240x240 px; Axial view; Head; Slice index 74
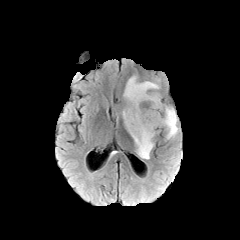
FLAIR magnetic resonance.
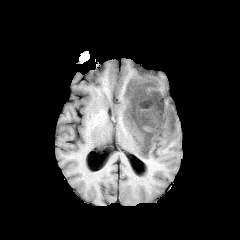
Same slice, T1-weighted MRI.
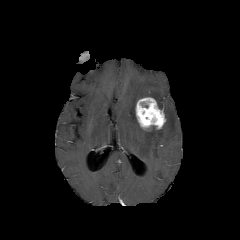
Post-contrast T1-weighted magnetic resonance of the same slice.
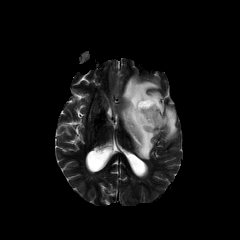
T2-weighted MR image.
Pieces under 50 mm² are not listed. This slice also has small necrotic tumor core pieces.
{
  "enhancing_tumor": [
    "135:97:166:130"
  ],
  "peritumoral_edema": [
    "122:76:163:159",
    "163:106:178:139"
  ]
}